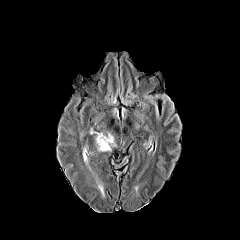
FLAIR MR image.
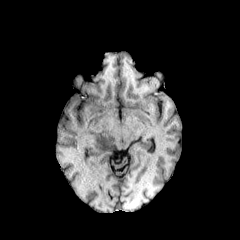
Same slice, T1-weighted MRI.
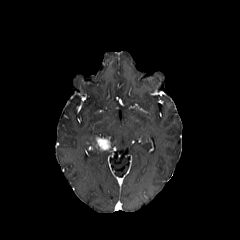
Same slice, post-contrast T1-weighted MRI.
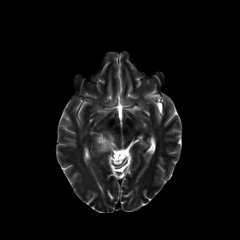
T2-weighted MR.
240x240
enhancing tumor: bounding box [95,137,110,150]
peritumoral edema: bounding box [90,129,115,152]